Axial plane
FLAIR MR image.
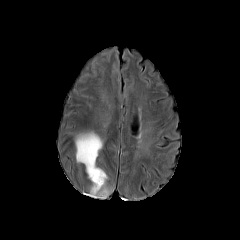
T1-weighted MR image.
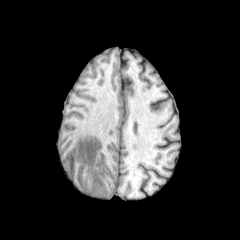
Post-contrast T1-weighted MRI.
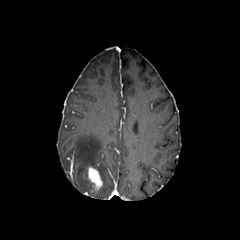
T2-weighted MR.
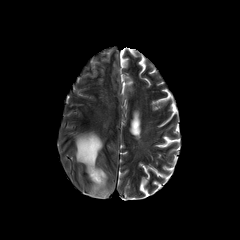
The peritumoral edema lies within 75 132 110 198. The enhancing tumor is located at 88 167 102 190.